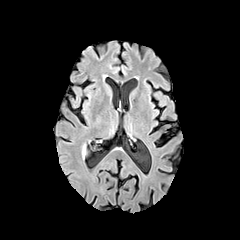
FLAIR MR image.
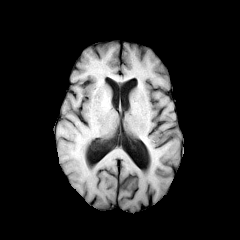
T1-weighted MR.
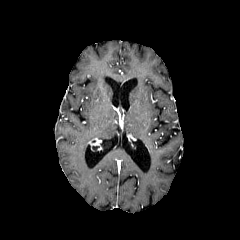
Same slice, post-contrast T1-weighted MRI.
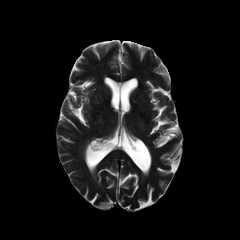
T2-weighted magnetic resonance.
240x240, Axial plane, Head
peritumoral edema: 80 142 88 158